Brain, Image width 240 mm, 1.00 mm slice spacing
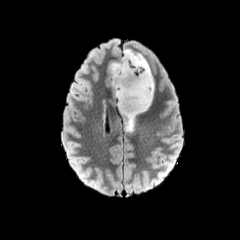
FLAIR MR image.
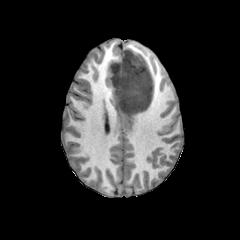
T1-weighted magnetic resonance of the same slice.
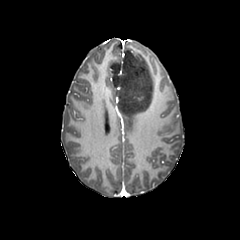
Post-contrast T1-weighted MR of the same slice.
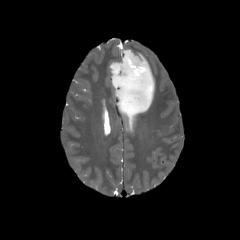
T2-weighted MR of the same slice.
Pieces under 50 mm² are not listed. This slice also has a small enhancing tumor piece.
The peritumoral edema lies within 110, 49, 154, 131.